Brain; Axial plane
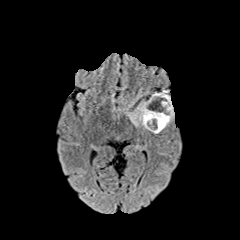
FLAIR MR image.
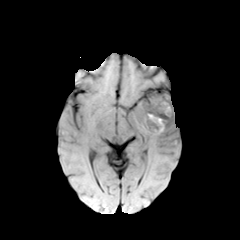
T1-weighted MR image.
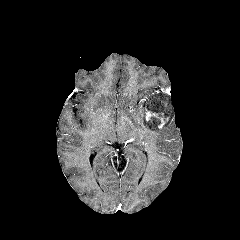
Post-contrast T1-weighted MRI.
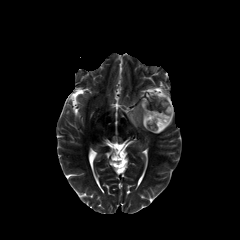
T2-weighted MRI.
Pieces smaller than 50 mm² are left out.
The largest peritumoral edema region is located at 128:92:174:133. The largest enhancing tumor region is at 145:109:168:128. 2 necrotic tumor core regions appear at 146:116:160:129, 146:93:168:117.